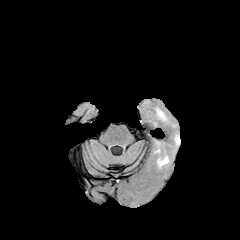
FLAIR MR image.
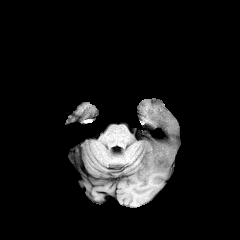
T1-weighted MRI.
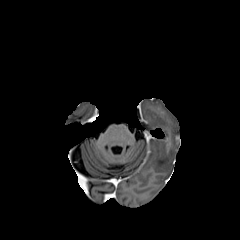
Post-contrast T1-weighted MRI.
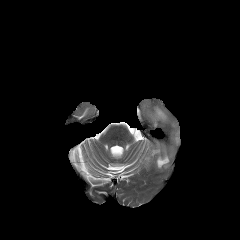
Same slice, T2-weighted MR image.
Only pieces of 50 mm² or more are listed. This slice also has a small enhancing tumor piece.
peritumoral edema: [155, 107, 167, 121], [157, 149, 169, 168], [154, 142, 160, 153]